Head; Axial view; Image size 240x240
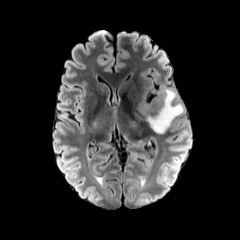
FLAIR magnetic resonance.
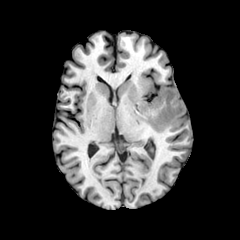
T1-weighted MR of the same slice.
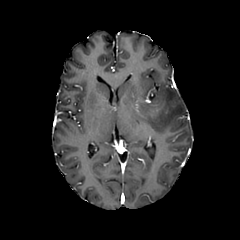
Post-contrast T1-weighted MR.
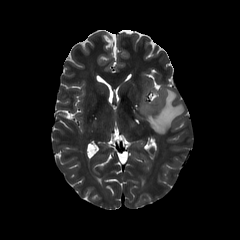
Same slice, T2-weighted MR image.
{"peritumoral_edema": ["<box>140,104,151,113</box>", "<box>147,87,184,133</box>"]}